Axial view. Slice index 111. Image size 240x240. Image width 240 mm.
FLAIR magnetic resonance.
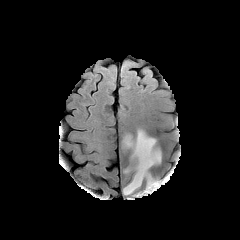
T1-weighted MRI.
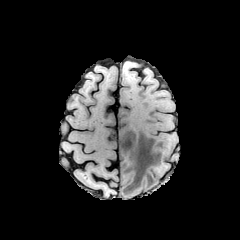
Post-contrast T1-weighted magnetic resonance.
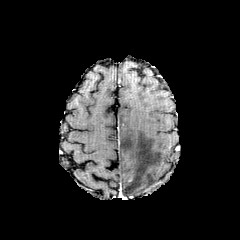
T2-weighted MR.
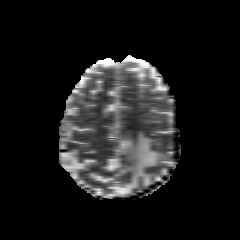
{"peritumoral_edema": ["<box>121,130,161,195</box>"]}